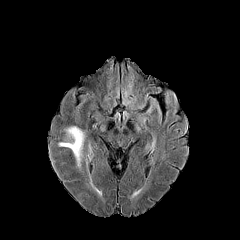
FLAIR MR image.
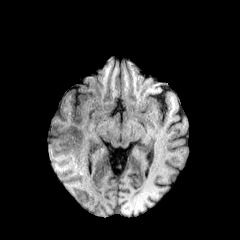
T1-weighted MRI.
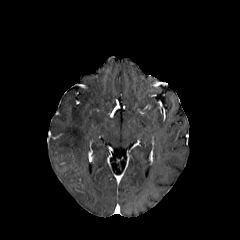
Post-contrast T1-weighted MRI of the same slice.
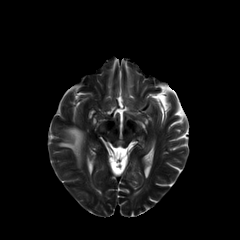
Same slice, T2-weighted MR image.
Axial slice; Head
The peritumoral edema is at [59,127,84,165].